Head, Image width 240 mm
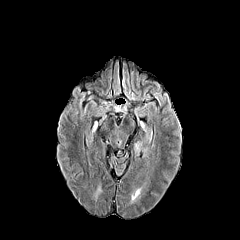
FLAIR MRI.
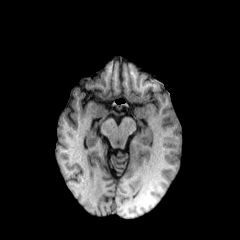
T1-weighted MRI of the same slice.
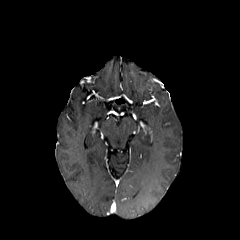
Post-contrast T1-weighted MRI of the same slice.
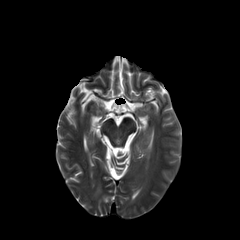
T2-weighted magnetic resonance.
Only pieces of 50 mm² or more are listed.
peritumoral edema: bounding box bbox=[131, 188, 141, 200]